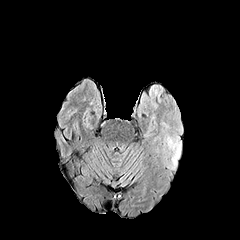
FLAIR MR.
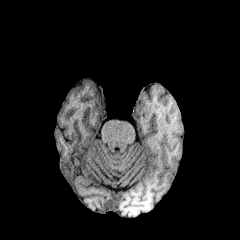
T1-weighted MR image of the same slice.
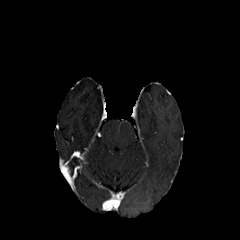
Post-contrast T1-weighted MRI.
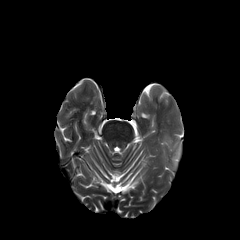
T2-weighted MR.
Head | Image size 240x240
peritumoral edema — bbox=[167, 136, 180, 164]